FLAIR MRI.
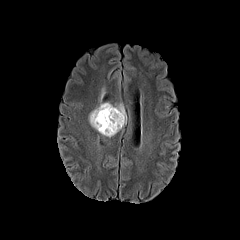
T1-weighted MR image.
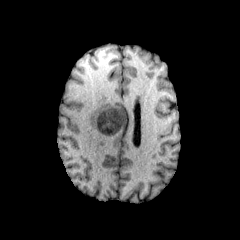
Post-contrast T1-weighted magnetic resonance.
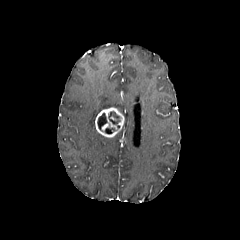
T2-weighted magnetic resonance.
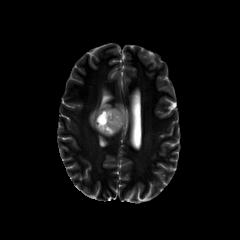
240x240 px; Axial view
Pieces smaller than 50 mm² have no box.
peritumoral_edema:
  - 115,103,126,123
  - 89,102,113,128
necrotic_tumor_core:
  - 104,128,115,133
  - 108,112,119,124
  - 97,113,107,130
enhancing_tumor:
  - 95,107,124,137